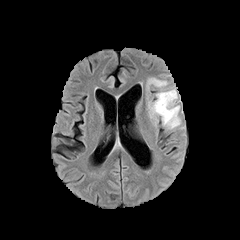
FLAIR MR.
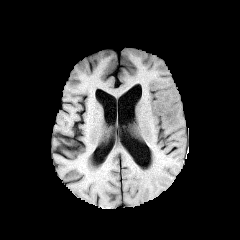
T1-weighted MR image.
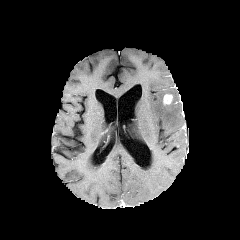
Post-contrast T1-weighted magnetic resonance.
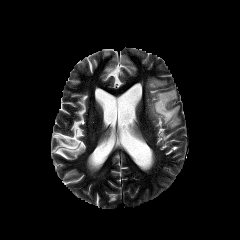
T2-weighted MR.
Brain, Axial view
enhancing tumor = left=163, top=94, right=172, bottom=104
peritumoral edema = left=147, top=78, right=180, bottom=129